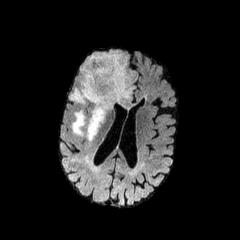
FLAIR MRI.
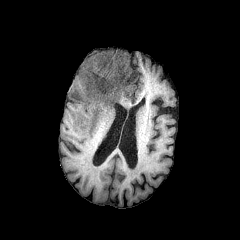
Same slice, T1-weighted MR image.
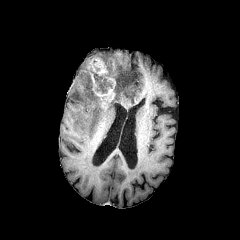
Same slice, post-contrast T1-weighted MR image.
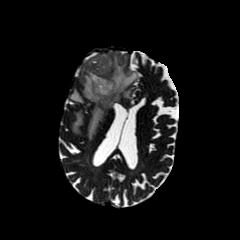
T2-weighted MR image.
240x240 px
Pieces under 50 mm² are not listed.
necrotic tumor core = left=91, top=70, right=111, bottom=93
peritumoral edema = left=70, top=52, right=136, bottom=140
enhancing tumor = left=84, top=52, right=125, bottom=108